FLAIR MR image.
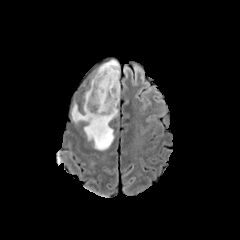
T1-weighted MR image.
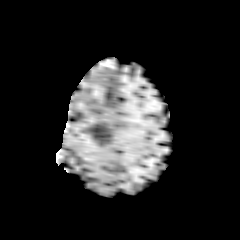
Post-contrast T1-weighted MRI.
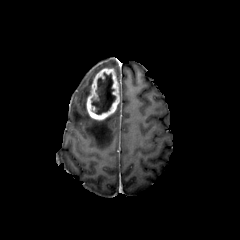
T2-weighted MR.
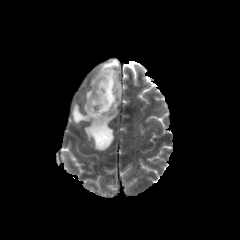
Brain. Axial view.
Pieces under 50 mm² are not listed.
peritumoral_edema:
  - 72 103 117 150
  - 98 59 119 78
necrotic_tumor_core:
  - 91 73 115 114
enhancing_tumor:
  - 86 68 119 120